Slice 39/155
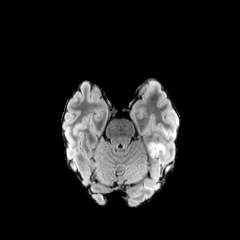
FLAIR MR image.
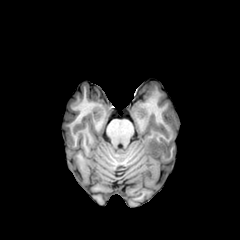
T1-weighted MR.
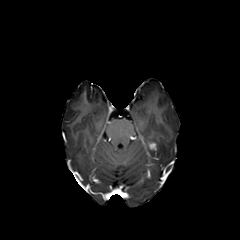
Same slice, post-contrast T1-weighted MR image.
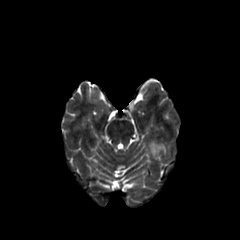
Same slice, T2-weighted MR.
The enhancing tumor lies within 148, 142, 156, 150. The peritumoral edema is at 147, 140, 167, 161.